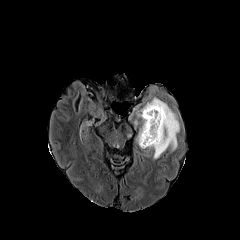
FLAIR magnetic resonance.
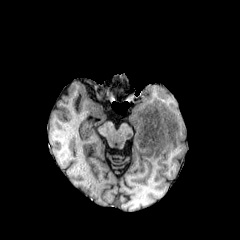
T1-weighted MRI.
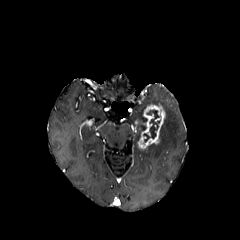
Post-contrast T1-weighted MR image.
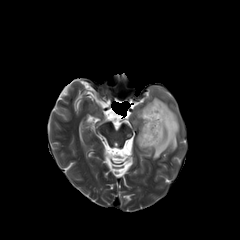
Same slice, T2-weighted MRI.
Head. Image size 240x240.
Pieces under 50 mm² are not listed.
necrotic_tumor_core:
  - (143, 109, 160, 142)
peritumoral_edema:
  - (136, 126, 143, 144)
  - (136, 97, 179, 159)
enhancing_tumor:
  - (135, 104, 165, 149)